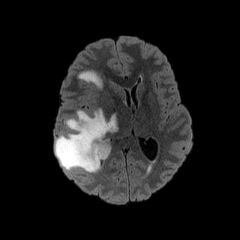
FLAIR MR.
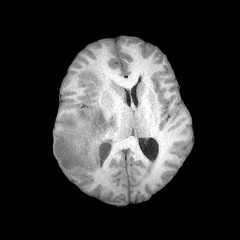
T1-weighted MRI of the same slice.
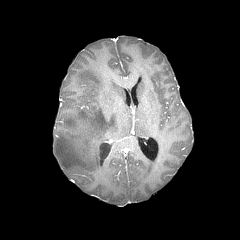
Post-contrast T1-weighted MRI.
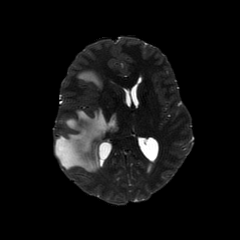
T2-weighted MR.
2 peritumoral edema regions appear at (left=54, top=109, right=117, bottom=172), (left=78, top=70, right=102, bottom=88).